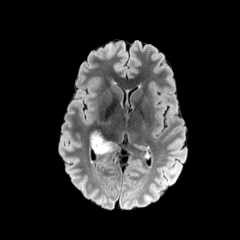
FLAIR MR image.
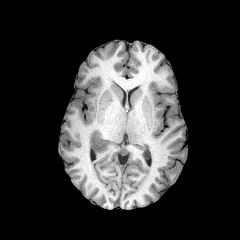
T1-weighted magnetic resonance.
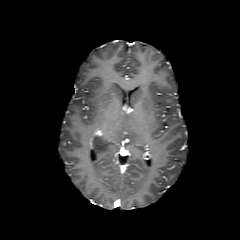
Post-contrast T1-weighted MR.
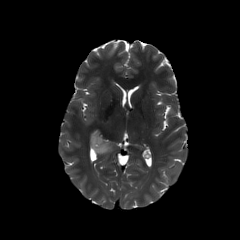
T2-weighted magnetic resonance.
{"peritumoral_edema": ["bbox=[90, 125, 121, 154]"]}